FLAIR MRI.
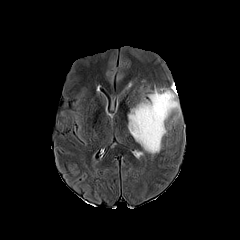
T1-weighted MR image.
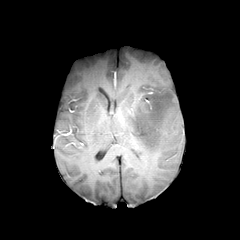
Post-contrast T1-weighted MRI.
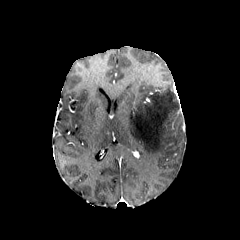
T2-weighted MR image.
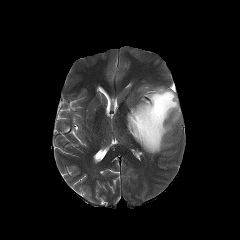
Head.
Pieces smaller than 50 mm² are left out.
Annotated regions:
• peritumoral edema: {"x1": 128, "y1": 88, "x2": 180, "y2": 153}